Head.
FLAIR MR image.
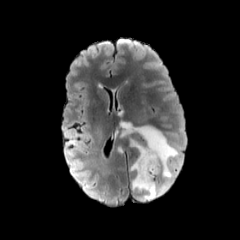
T1-weighted MR image.
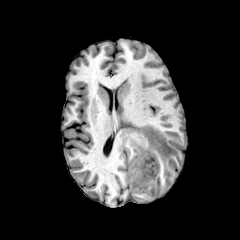
Post-contrast T1-weighted MRI.
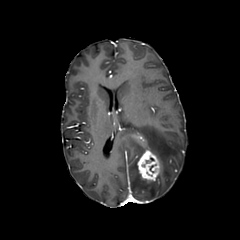
T2-weighted magnetic resonance.
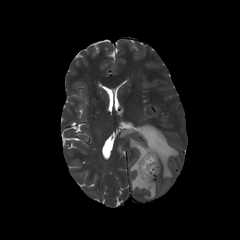
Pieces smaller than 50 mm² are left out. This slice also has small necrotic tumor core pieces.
The 2 largest peritumoral edema regions appear at bbox=[121, 125, 178, 178]; bbox=[130, 138, 168, 199]. The enhancing tumor is bounded by bbox=[136, 135, 160, 182].